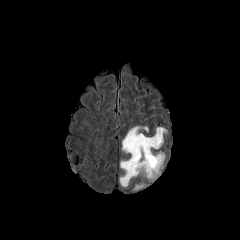
FLAIR MRI.
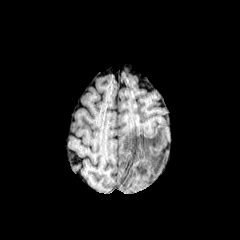
Same slice, T1-weighted magnetic resonance.
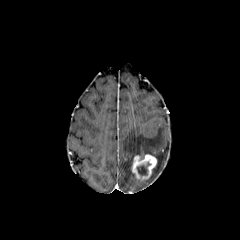
Post-contrast T1-weighted MRI.
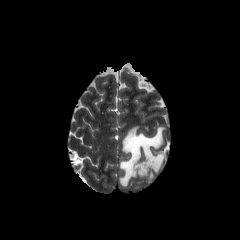
T2-weighted MR of the same slice.
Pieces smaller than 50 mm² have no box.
Annotated regions:
• necrotic tumor core: box=[137, 162, 150, 175]
• enhancing tumor: box=[131, 154, 157, 179]
• peritumoral edema: box=[132, 183, 146, 191]; box=[119, 125, 168, 187]; box=[147, 150, 165, 180]